FLAIR MR.
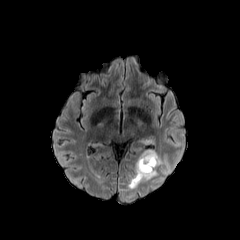
T1-weighted MRI.
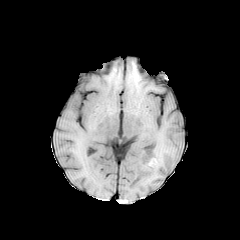
Post-contrast T1-weighted MR.
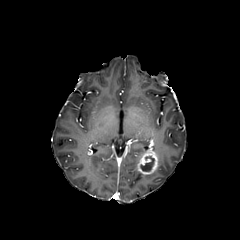
T2-weighted MR image.
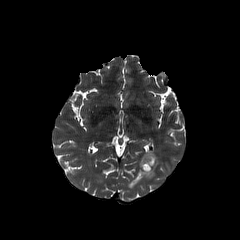
240x240 px | Head
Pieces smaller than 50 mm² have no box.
enhancing_tumor:
  - (137,150,158,175)
necrotic_tumor_core:
  - (140,156,154,171)
peritumoral_edema:
  - (128,157,156,188)